FLAIR MRI.
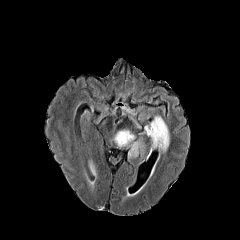
T1-weighted MR.
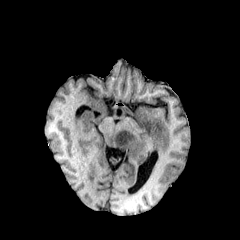
Post-contrast T1-weighted magnetic resonance.
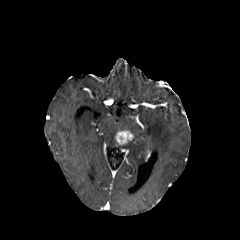
T2-weighted magnetic resonance.
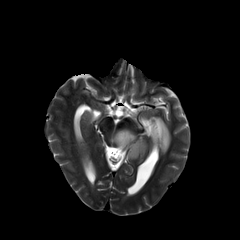
240x240 px
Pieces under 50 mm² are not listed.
Findings:
- peritumoral edema: 145, 116, 169, 154; 117, 136, 145, 158
- enhancing tumor: 115, 130, 134, 145